Slice 24/155, Head
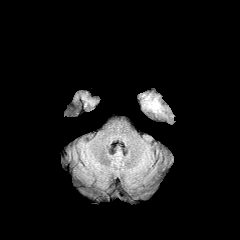
FLAIR MR.
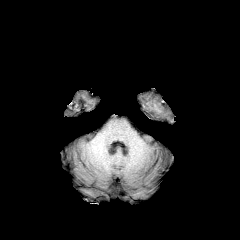
T1-weighted MRI of the same slice.
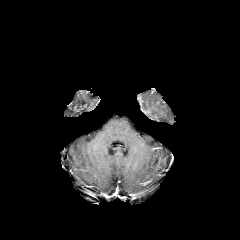
Post-contrast T1-weighted MR image.
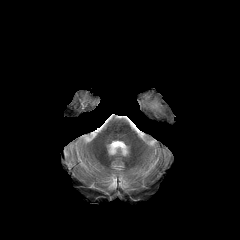
T2-weighted MR.
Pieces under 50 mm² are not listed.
<segmentation>
  <peritumoral_edema>(148, 98, 159, 110)</peritumoral_edema>
</segmentation>